Axial plane, Image width 240 mm
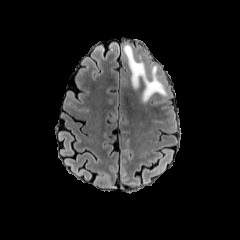
FLAIR MRI.
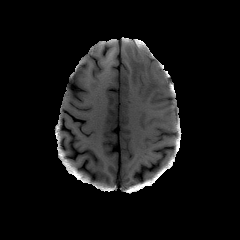
T1-weighted MR image.
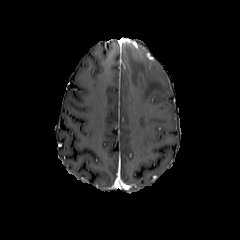
Post-contrast T1-weighted MRI of the same slice.
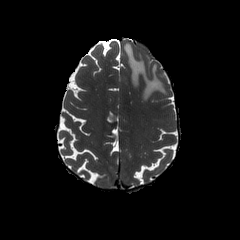
T2-weighted MRI of the same slice.
• peritumoral edema: 123 44 166 101